FLAIR magnetic resonance.
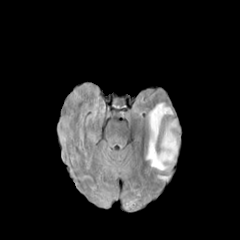
T1-weighted magnetic resonance.
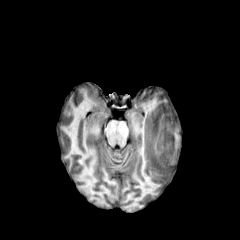
Post-contrast T1-weighted MR image.
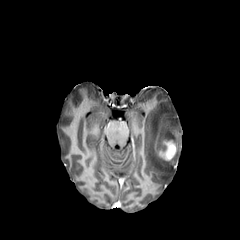
T2-weighted MR.
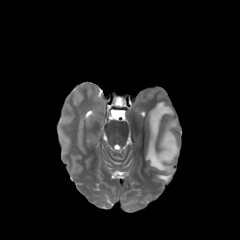
Image size 240x240.
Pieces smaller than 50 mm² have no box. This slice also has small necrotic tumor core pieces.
Annotated regions:
• peritumoral edema: <bbox>146, 102, 174, 171</bbox>, <bbox>158, 175, 169, 180</bbox>, <bbox>162, 119, 178, 139</bbox>
• enhancing tumor: <bbox>156, 139, 177, 160</bbox>